FLAIR magnetic resonance.
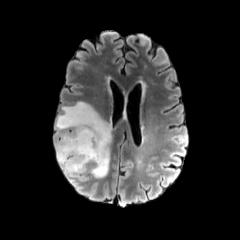
T1-weighted magnetic resonance.
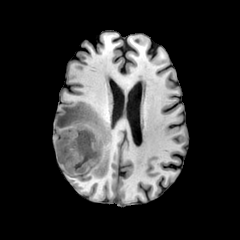
Post-contrast T1-weighted MR image.
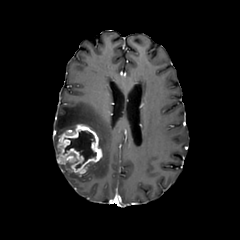
T2-weighted MR image.
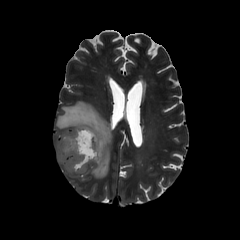
240x240, Axial slice
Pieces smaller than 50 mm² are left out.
necrotic tumor core at x1=63, y1=131, x2=96, y2=163
peritumoral edema at x1=54, y1=101, x2=112, y2=178; x1=60, y1=164, x2=79, y2=176
enhancing tumor at x1=57, y1=124, x2=102, y2=175